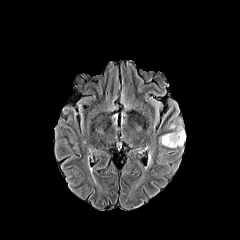
FLAIR MRI.
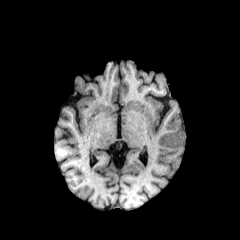
T1-weighted magnetic resonance.
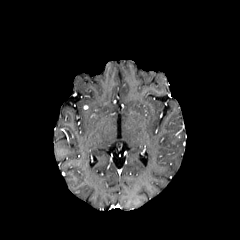
Same slice, post-contrast T1-weighted MRI.
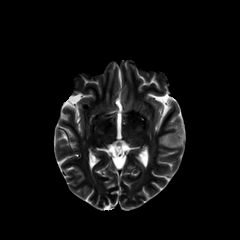
Same slice, T2-weighted MR image.
240x240, Axial view
peritumoral edema: bounding box (160,121,185,147)
enhancing tumor: bounding box (169,135,179,144)